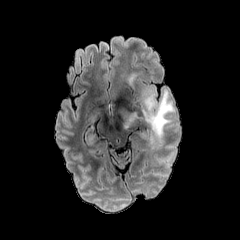
FLAIR MR image.
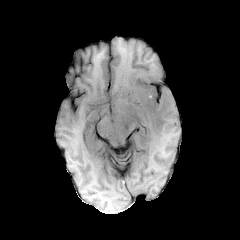
Same slice, T1-weighted MR image.
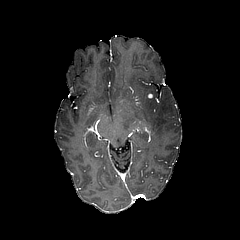
Post-contrast T1-weighted magnetic resonance of the same slice.
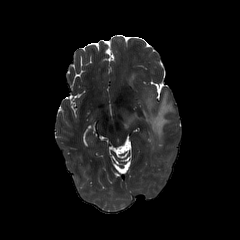
Same slice, T2-weighted MRI.
Brain; Axial view
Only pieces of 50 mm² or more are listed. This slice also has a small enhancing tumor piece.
Segmented structures:
- peritumoral edema: x1=121 y1=108 x2=137 y2=128, x1=143 y1=90 x2=174 y2=145